Image covers 240 mm x 240 mm.
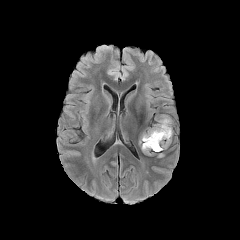
FLAIR MR.
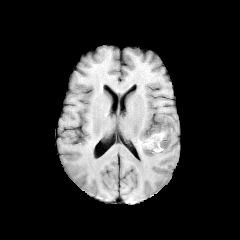
T1-weighted MRI.
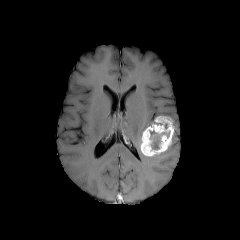
Post-contrast T1-weighted MR image.
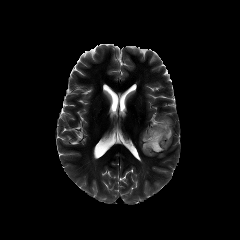
Same slice, T2-weighted MR image.
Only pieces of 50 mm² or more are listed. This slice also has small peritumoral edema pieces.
enhancing tumor: [141,116,173,156]
necrotic tumor core: [150,131,165,149]